240x240 px; Slice 71/155
FLAIR MR image.
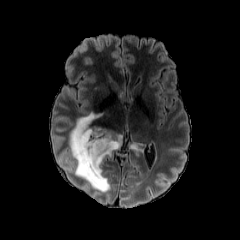
T1-weighted MR image.
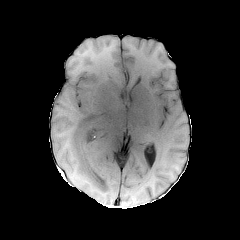
Post-contrast T1-weighted MR image.
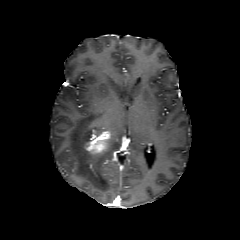
T2-weighted magnetic resonance.
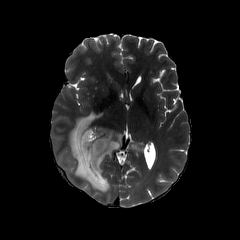
The enhancing tumor is located at (x1=85, y1=131, x2=110, y2=154). 2 peritumoral edema regions are located at (x1=130, y1=143, x2=140, y2=150), (x1=69, y1=112, x2=122, y2=192).